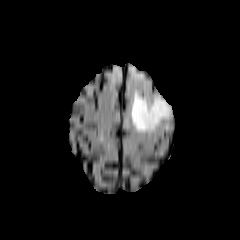
FLAIR MRI.
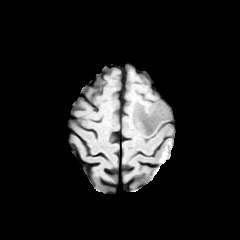
Same slice, T1-weighted MR.
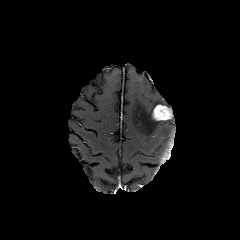
Post-contrast T1-weighted MRI.
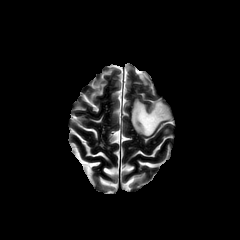
T2-weighted MR.
Axial plane, Image size 240x240
The enhancing tumor lies within bbox(152, 104, 172, 120). The peritumoral edema lies within bbox(131, 92, 167, 134).